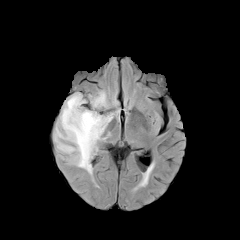
FLAIR magnetic resonance.
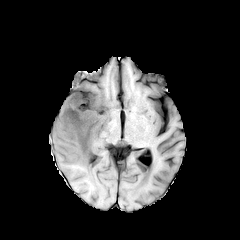
Same slice, T1-weighted magnetic resonance.
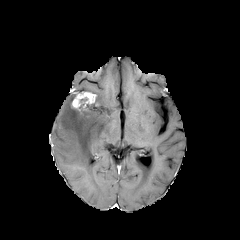
Post-contrast T1-weighted MRI.
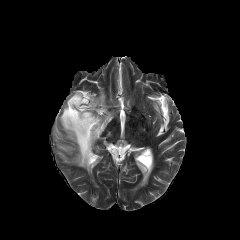
Same slice, T2-weighted MR image.
Axial view.
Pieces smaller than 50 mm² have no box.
The enhancing tumor lies within (left=71, top=92, right=97, bottom=110). The largest peritumoral edema region lies within (left=54, top=91, right=113, bottom=174).